Slice 129 of 155; Head; Image covers 240 mm x 240 mm
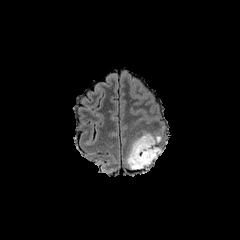
FLAIR magnetic resonance.
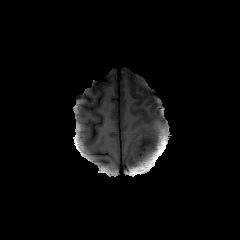
T1-weighted magnetic resonance of the same slice.
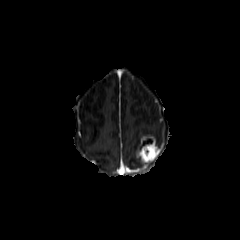
Post-contrast T1-weighted MRI of the same slice.
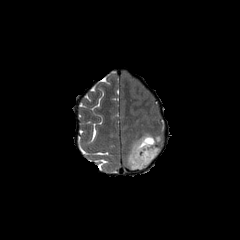
T2-weighted magnetic resonance.
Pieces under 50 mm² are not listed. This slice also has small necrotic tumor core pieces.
Findings:
* peritumoral edema: bbox(153, 134, 162, 144); bbox(127, 132, 152, 169)
* enhancing tumor: bbox(135, 134, 161, 167)